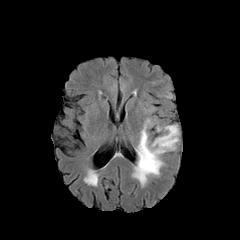
FLAIR MRI.
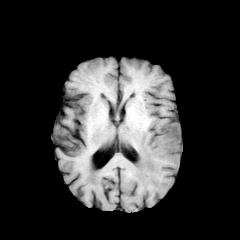
Same slice, T1-weighted magnetic resonance.
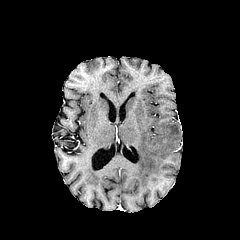
Post-contrast T1-weighted MR of the same slice.
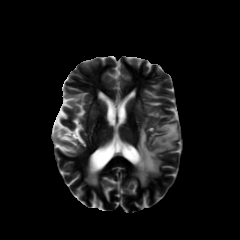
T2-weighted MRI of the same slice.
peritumoral edema: l=133, t=124, r=179, b=185